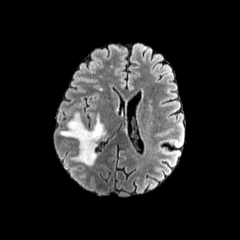
FLAIR MR image.
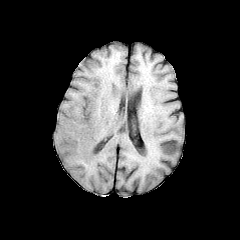
T1-weighted MRI.
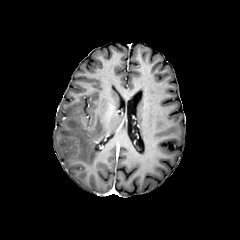
Post-contrast T1-weighted MRI of the same slice.
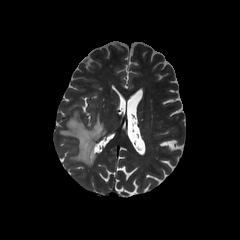
T2-weighted MR of the same slice.
240x240.
Findings:
- peritumoral edema: (60, 113, 106, 166)